Image size 240x240, Slice index 78
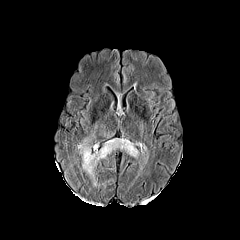
FLAIR magnetic resonance.
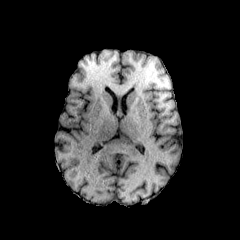
T1-weighted MR.
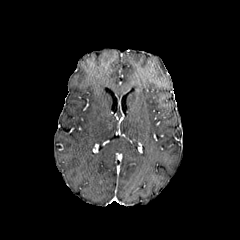
Post-contrast T1-weighted MR.
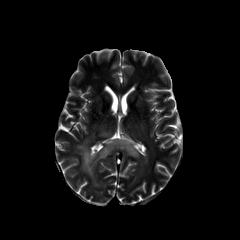
T2-weighted MR image.
The peritumoral edema lies within 77:139:138:175.